Slice 109 of 155 | Head | Axial slice
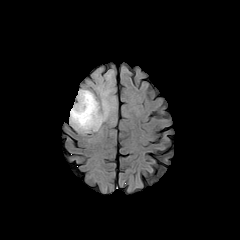
FLAIR MR.
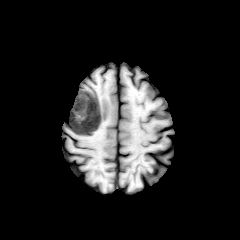
Same slice, T1-weighted MR image.
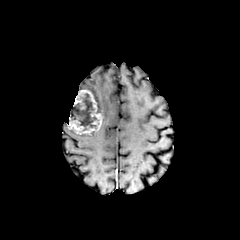
Post-contrast T1-weighted MR.
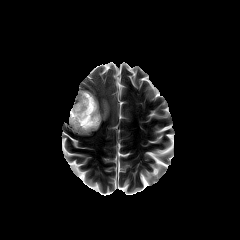
T2-weighted magnetic resonance of the same slice.
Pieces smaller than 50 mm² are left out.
necrotic tumor core: bbox(70, 93, 96, 130)
peritumoral edema: bbox(90, 76, 115, 123)
enhancing tumor: bbox(69, 90, 102, 134)